Image size 240x240, Brain
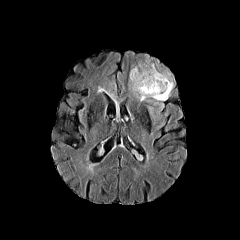
FLAIR MR image.
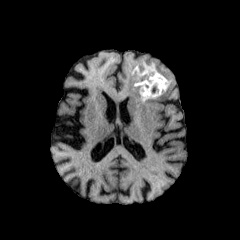
T1-weighted MRI.
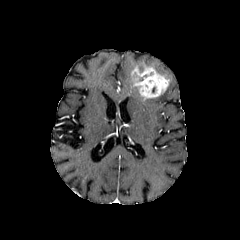
Post-contrast T1-weighted MRI.
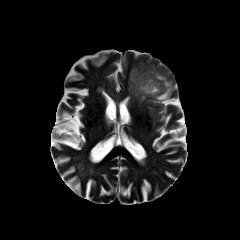
Same slice, T2-weighted MR.
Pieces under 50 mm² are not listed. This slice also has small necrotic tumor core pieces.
• enhancing tumor: box=[131, 66, 169, 98]
• peritumoral edema: box=[130, 72, 145, 101]; box=[138, 64, 173, 104]